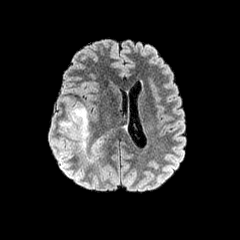
FLAIR magnetic resonance.
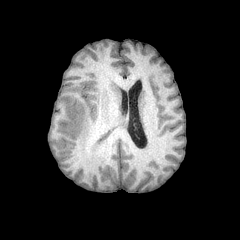
T1-weighted MRI.
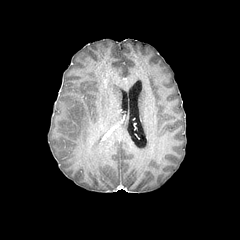
Post-contrast T1-weighted magnetic resonance.
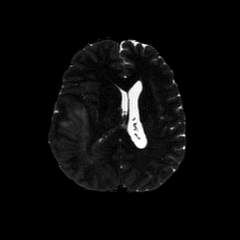
Same slice, T2-weighted MR.
Axial plane | Brain | Image size 240x240
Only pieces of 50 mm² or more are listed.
The largest peritumoral edema region appears at left=70, top=106, right=89, bottom=147.